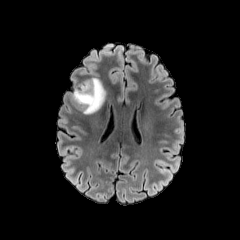
FLAIR magnetic resonance.
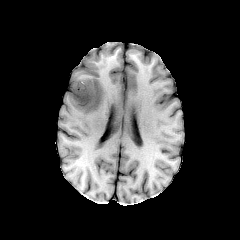
T1-weighted MRI of the same slice.
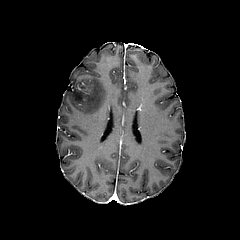
Post-contrast T1-weighted magnetic resonance.
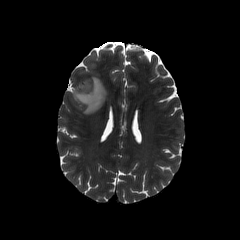
T2-weighted MRI.
Axial plane, Head
peritumoral edema at <box>71,77,106,114</box>